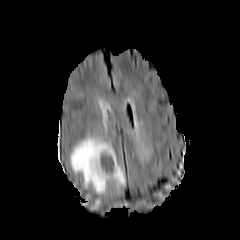
FLAIR MRI.
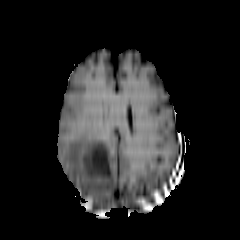
Same slice, T1-weighted magnetic resonance.
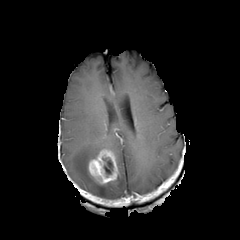
Post-contrast T1-weighted MR image.
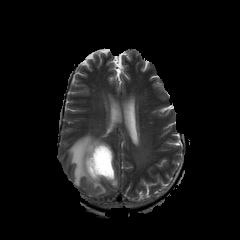
T2-weighted magnetic resonance.
Axial view
peritumoral edema: 70:135:125:194
necrotic tumor core: 99:158:113:174
enhancing tumor: 88:145:119:184